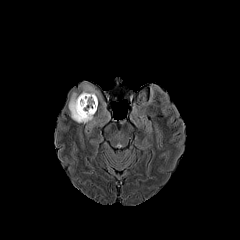
FLAIR MR.
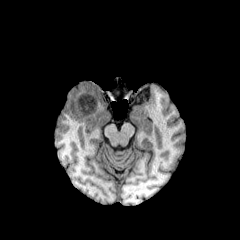
Same slice, T1-weighted magnetic resonance.
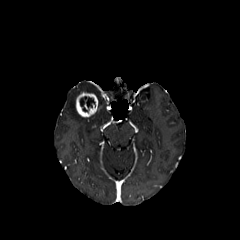
Same slice, post-contrast T1-weighted MR image.
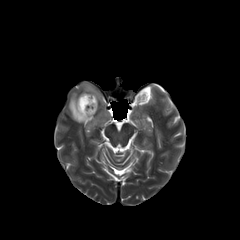
Same slice, T2-weighted MR.
Axial plane.
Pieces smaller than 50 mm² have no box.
Segmented structures:
• necrotic tumor core: 80:96:95:112
• peritumoral edema: 68:81:109:136
• enhancing tumor: 76:92:97:117